Brain; Image covers 240 mm x 240 mm; Slice 75/155
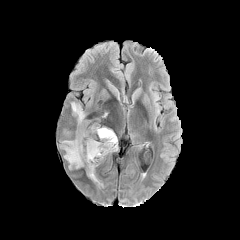
FLAIR magnetic resonance.
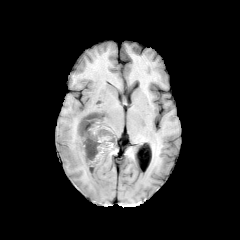
T1-weighted MR.
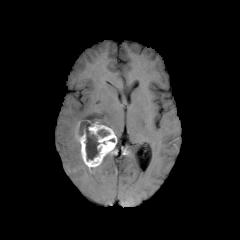
Post-contrast T1-weighted magnetic resonance of the same slice.
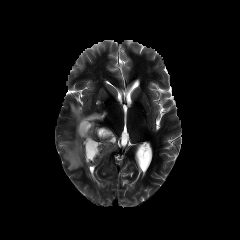
T2-weighted magnetic resonance of the same slice.
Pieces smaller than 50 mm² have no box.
{
  "peritumoral_edema": [
    "<box>63,129,73,136</box>",
    "<box>59,139,104,188</box>",
    "<box>70,101,85,125</box>"
  ],
  "enhancing_tumor": [
    "<box>74,119,117,171</box>"
  ],
  "necrotic_tumor_core": [
    "<box>79,121,99,160</box>",
    "<box>97,129,109,137</box>"
  ]
}